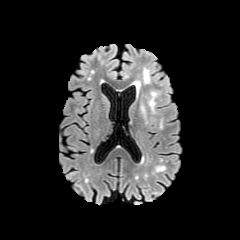
FLAIR magnetic resonance.
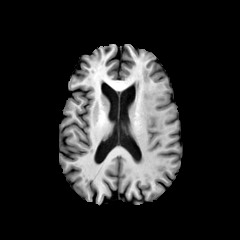
T1-weighted magnetic resonance.
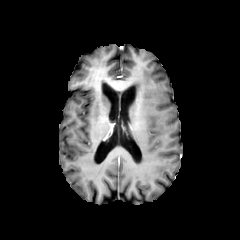
Post-contrast T1-weighted magnetic resonance.
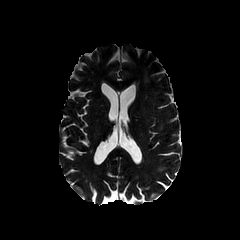
T2-weighted magnetic resonance of the same slice.
Axial view
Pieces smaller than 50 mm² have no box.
The 2 largest peritumoral edema regions appear at 143, 69, 149, 83; 139, 89, 161, 124.